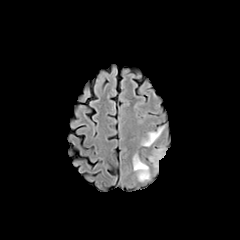
FLAIR MR image.
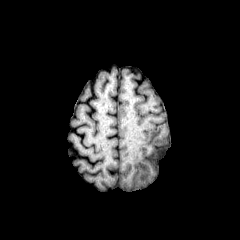
T1-weighted MR image.
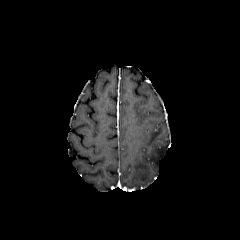
Post-contrast T1-weighted MRI.
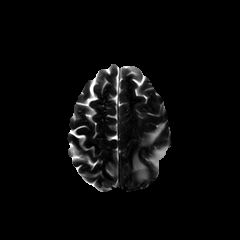
T2-weighted MRI.
Axial view. Head.
Segmented structures:
* peritumoral edema: 150:148:165:167, 133:155:149:181, 142:126:163:145